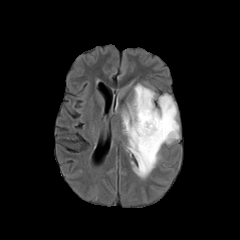
FLAIR MR.
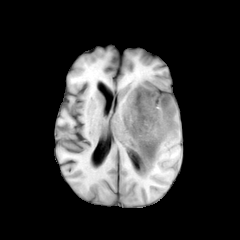
T1-weighted MR image of the same slice.
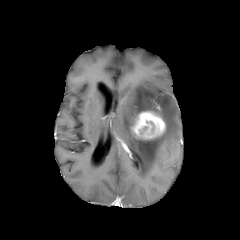
Post-contrast T1-weighted magnetic resonance of the same slice.
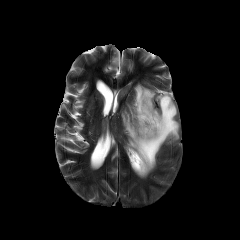
T2-weighted MR.
Axial slice
The enhancing tumor is located at bbox(130, 111, 165, 139). The peritumoral edema is bounded by bbox(121, 84, 179, 178).